Image width 240 mm.
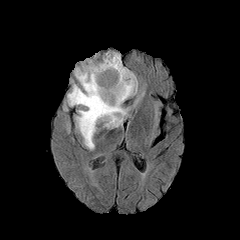
FLAIR MRI.
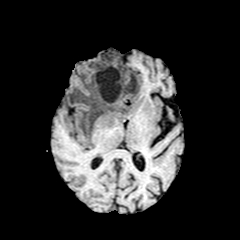
T1-weighted MR.
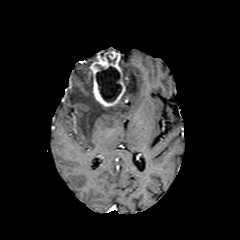
Same slice, post-contrast T1-weighted MR.
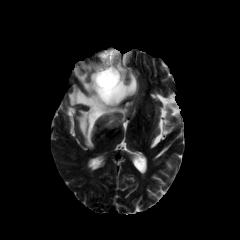
T2-weighted MRI.
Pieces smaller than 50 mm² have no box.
Segmented structures:
* necrotic tumor core: [96,65,121,101]
* enhancing tumor: [89,49,125,107]
* peritumoral edema: [68,60,137,149]